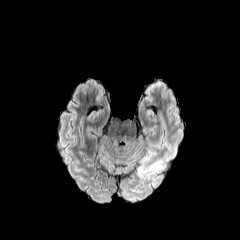
FLAIR MR image.
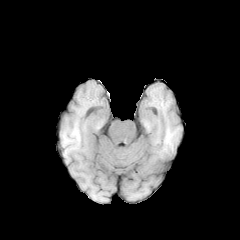
T1-weighted MRI.
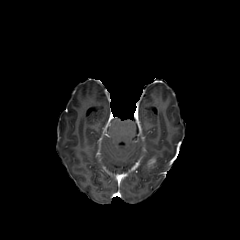
Same slice, post-contrast T1-weighted MR.
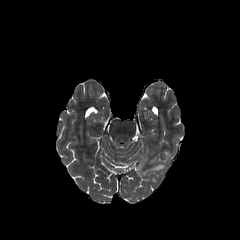
T2-weighted MR.
Head. Axial view.
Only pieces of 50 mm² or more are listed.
peritumoral edema at (left=138, top=159, right=164, bottom=176)
enhancing tumor at (left=147, top=157, right=155, bottom=168)